FLAIR magnetic resonance.
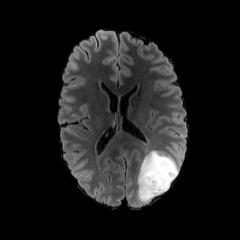
T1-weighted magnetic resonance.
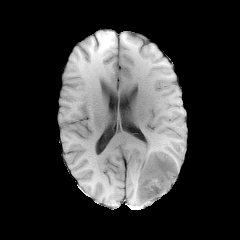
Post-contrast T1-weighted magnetic resonance.
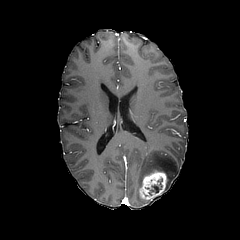
T2-weighted MRI.
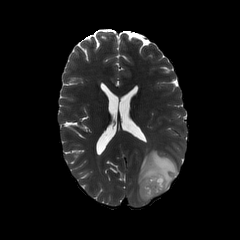
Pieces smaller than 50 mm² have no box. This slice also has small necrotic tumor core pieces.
{
  "peritumoral_edema": [
    "(135,150,179,205)"
  ],
  "enhancing_tumor": [
    "(139,170,167,200)"
  ]
}